Axial slice, Slice 66 of 155, Brain
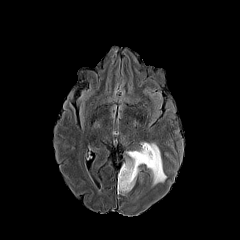
FLAIR MR.
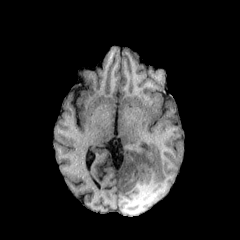
T1-weighted magnetic resonance.
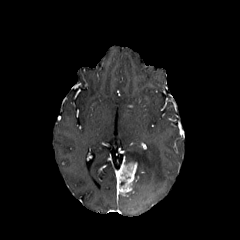
Post-contrast T1-weighted magnetic resonance.
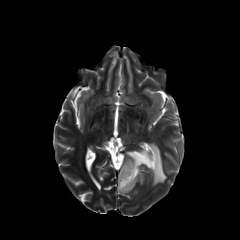
T2-weighted MR image.
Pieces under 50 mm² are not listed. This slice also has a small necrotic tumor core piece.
enhancing tumor: bounding box (left=119, top=162, right=137, bottom=195)
peritumoral edema: bounding box (left=133, top=166, right=139, bottom=185), (left=126, top=143, right=166, bottom=184)